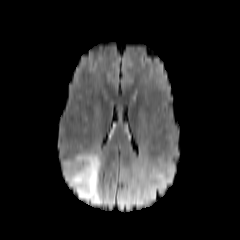
FLAIR MR.
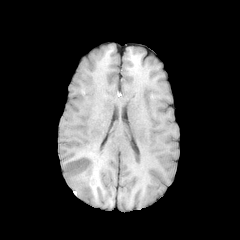
T1-weighted MR image of the same slice.
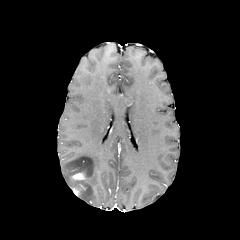
Post-contrast T1-weighted MR of the same slice.
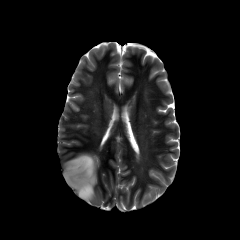
Same slice, T2-weighted MRI.
Axial view
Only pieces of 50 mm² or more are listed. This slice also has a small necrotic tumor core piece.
The peritumoral edema appears at 64 153 101 204. 2 enhancing tumor regions are bounded by 72 173 85 181, 72 184 86 195.